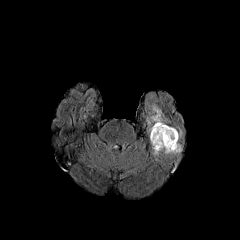
FLAIR MR.
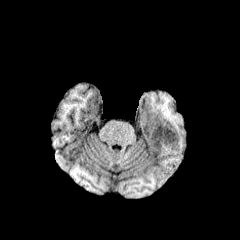
T1-weighted MRI of the same slice.
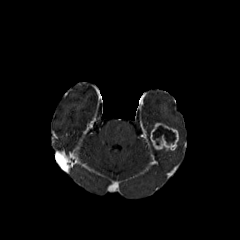
Post-contrast T1-weighted magnetic resonance.
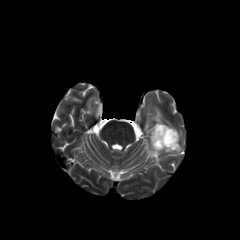
T2-weighted magnetic resonance.
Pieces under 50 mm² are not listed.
Segmented structures:
* enhancing tumor: 150:123:178:150
* necrotic tumor core: 153:125:175:144
* peritumoral edema: 145:104:167:134, 152:140:184:155